Head, Slice index 124
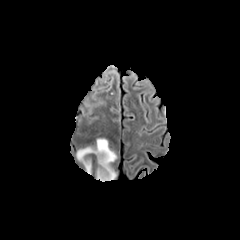
FLAIR MR image.
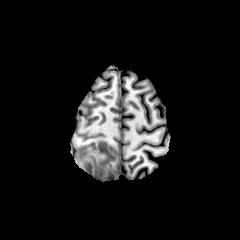
Same slice, T1-weighted MR image.
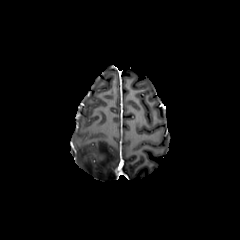
Post-contrast T1-weighted MR image.
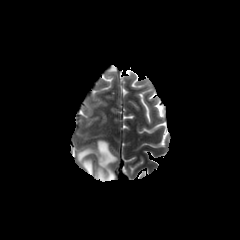
Same slice, T2-weighted MRI.
peritumoral_edema:
  - [77,139,116,180]